FLAIR MR image.
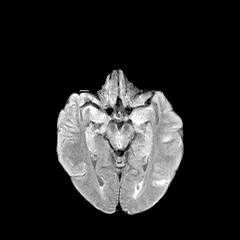
T1-weighted magnetic resonance.
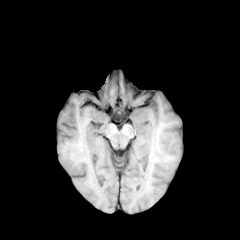
Post-contrast T1-weighted MR image.
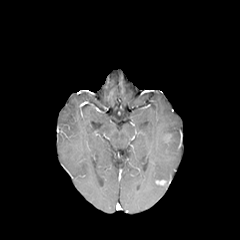
T2-weighted MR.
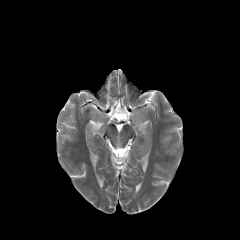
Brain
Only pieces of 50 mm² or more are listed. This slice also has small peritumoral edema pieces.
Segmented structures:
- enhancing tumor: x1=155, y1=179, x2=166, y2=185